FLAIR MRI.
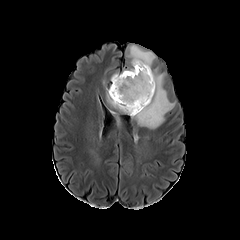
T1-weighted MR image.
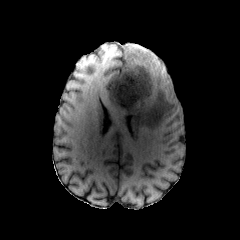
Post-contrast T1-weighted magnetic resonance.
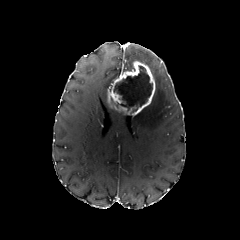
T2-weighted magnetic resonance.
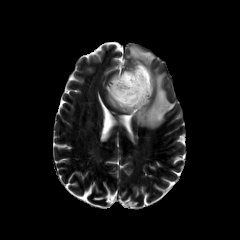
Brain; 240x240 px
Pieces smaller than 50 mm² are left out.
peritumoral edema: bounding box 134,75,174,129; 131,49,152,67
enhancing tumor: bounding box 108,61,155,116
necrotic tumor core: bounding box 113,65,152,112